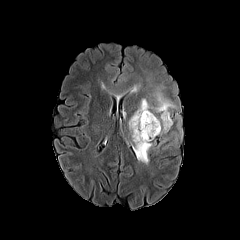
FLAIR magnetic resonance.
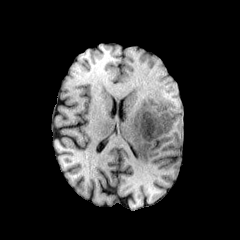
Same slice, T1-weighted MRI.
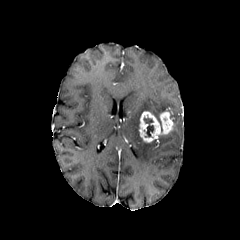
Post-contrast T1-weighted magnetic resonance.
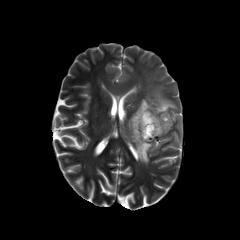
T2-weighted MR image.
Brain, 240x240 px
Segmented structures:
* necrotic tumor core: [144, 118, 154, 136]
* peritumoral edema: [128, 87, 175, 163]
* enhancing tumor: [139, 109, 173, 142]